Axial plane. Slice 91 of 155.
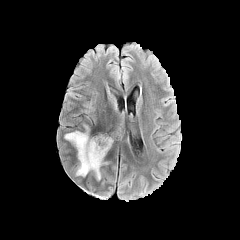
FLAIR MR image.
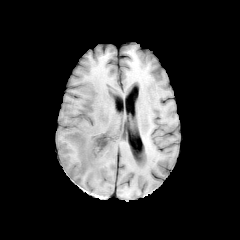
T1-weighted magnetic resonance.
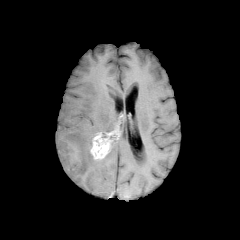
Post-contrast T1-weighted MR image of the same slice.
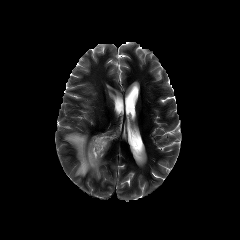
Same slice, T2-weighted MRI.
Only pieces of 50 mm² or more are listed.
Findings:
- enhancing tumor: <bbox>88, 133, 112, 159</bbox>
- peritumoral edema: <bbox>64, 124, 110, 181</bbox>